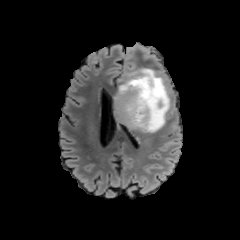
FLAIR magnetic resonance.
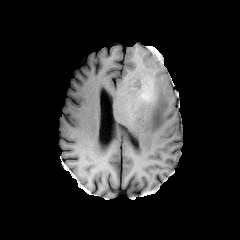
Same slice, T1-weighted MR.
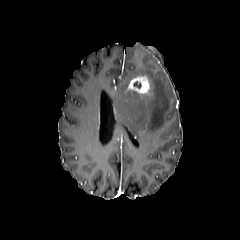
Post-contrast T1-weighted MR image.
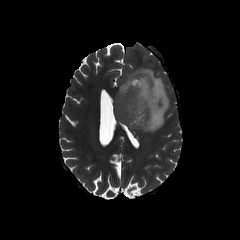
T2-weighted MRI.
Axial slice
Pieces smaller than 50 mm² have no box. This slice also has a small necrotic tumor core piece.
Segmented structures:
• peritumoral edema: (114, 68, 169, 132)
• enhancing tumor: (127, 75, 151, 95)